Image size 240x240, Brain
FLAIR MR image.
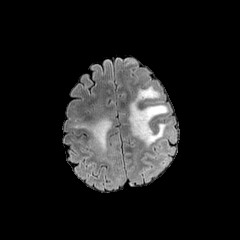
T1-weighted MRI.
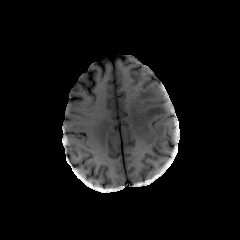
Post-contrast T1-weighted magnetic resonance.
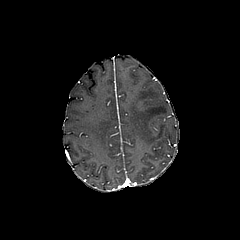
T2-weighted MR image.
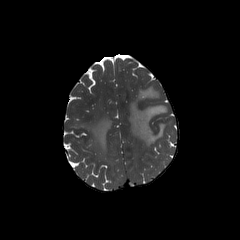
peritumoral edema: x1=76 y1=117 x2=111 y2=153, x1=128 y1=86 x2=168 y2=146